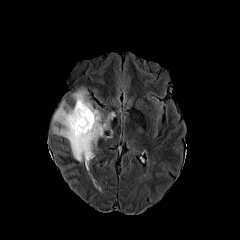
FLAIR magnetic resonance.
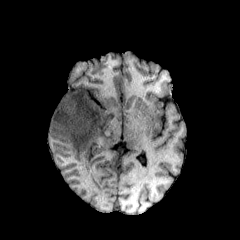
T1-weighted MRI of the same slice.
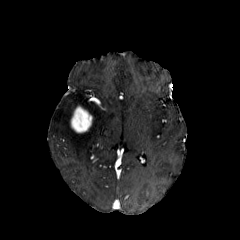
Post-contrast T1-weighted MRI.
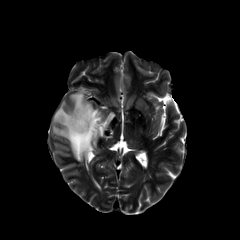
T2-weighted magnetic resonance.
Axial plane
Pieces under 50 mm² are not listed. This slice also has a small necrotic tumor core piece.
The enhancing tumor lies within l=70, t=104, r=92, b=133. The largest peritumoral edema region appears at l=52, t=90, r=115, b=171.